FLAIR MRI.
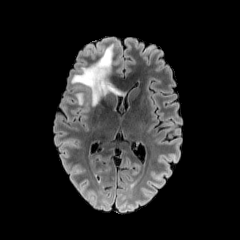
T1-weighted MRI.
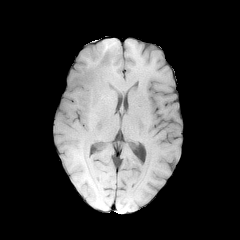
Post-contrast T1-weighted magnetic resonance.
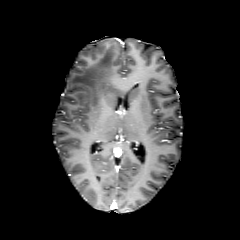
T2-weighted MR image.
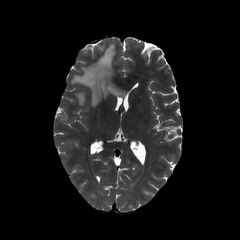
Head | Axial slice | 240x240 px
<segmentation>
  <peritumoral_edema>x1=75 y1=92 x2=86 y2=105, x1=71 y1=45 x2=124 y2=106</peritumoral_edema>
</segmentation>